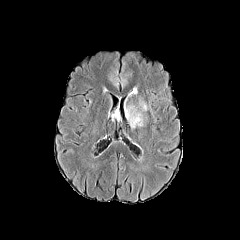
FLAIR MR.
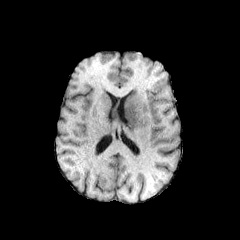
Same slice, T1-weighted MRI.
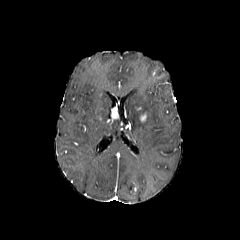
Post-contrast T1-weighted MR image.
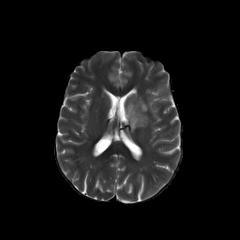
T2-weighted magnetic resonance of the same slice.
240x240 px, Brain, Axial plane
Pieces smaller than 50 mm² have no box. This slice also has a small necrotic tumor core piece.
peritumoral_edema:
  - l=126, t=106, r=143, b=127
enhancing_tumor:
  - l=111, t=107, r=119, b=120